FLAIR MRI.
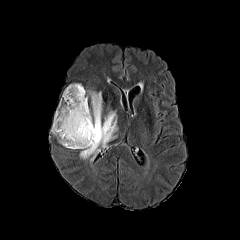
T1-weighted magnetic resonance.
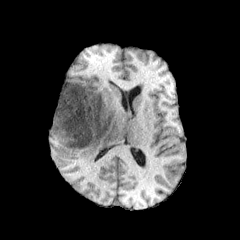
Post-contrast T1-weighted MR.
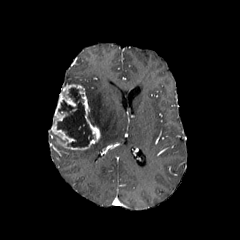
T2-weighted MR.
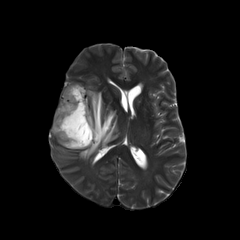
Brain
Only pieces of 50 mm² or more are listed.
The peritumoral edema is bounded by {"x1": 79, "y1": 90, "x2": 117, "y2": 161}. The necrotic tumor core is at {"x1": 57, "y1": 87, "x2": 93, "y2": 147}. The largest enhancing tumor region lies within {"x1": 50, "y1": 84, "x2": 100, "y2": 149}.